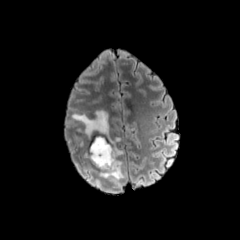
FLAIR magnetic resonance.
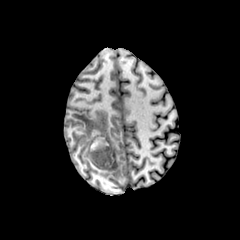
Same slice, T1-weighted magnetic resonance.
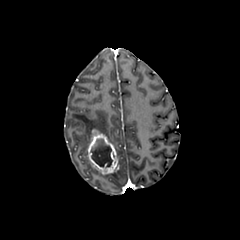
Post-contrast T1-weighted MR image.
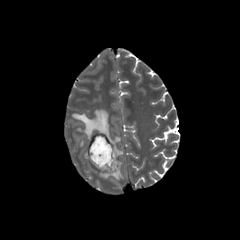
T2-weighted MR of the same slice.
Brain, Axial plane
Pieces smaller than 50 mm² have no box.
The largest necrotic tumor core region is located at [x1=91, y1=139, x2=112, y2=166]. The enhancing tumor is bounded by [x1=86, y1=129, x2=119, y2=174]. The 2 largest peritumoral edema regions are bounded by [x1=72, y1=110, x2=123, y2=157], [x1=99, y1=160, x2=124, y2=182].